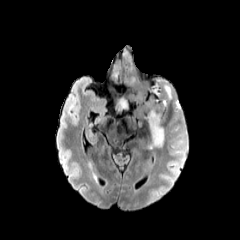
FLAIR magnetic resonance.
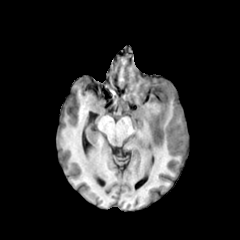
Same slice, T1-weighted MRI.
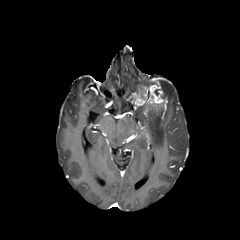
Post-contrast T1-weighted MRI.
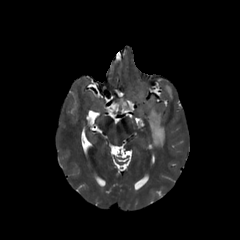
T2-weighted MR.
240x240
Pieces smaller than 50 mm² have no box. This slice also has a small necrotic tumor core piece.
The enhancing tumor is at 134, 81, 167, 108. The 3 largest peritumoral edema regions are bounded by 160, 83, 172, 102; 133, 86, 148, 98; 146, 103, 166, 148.